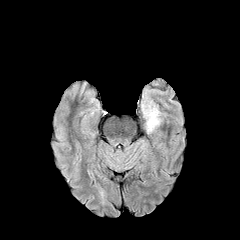
FLAIR MR image.
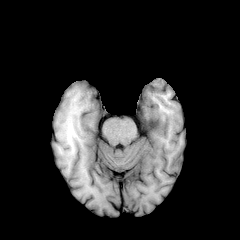
T1-weighted MR image of the same slice.
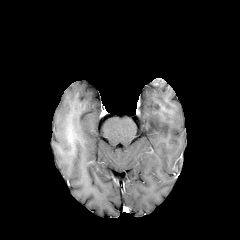
Post-contrast T1-weighted MR of the same slice.
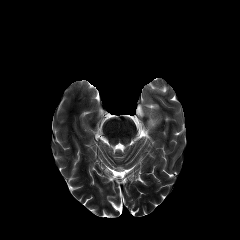
Same slice, T2-weighted magnetic resonance.
Brain, Axial view
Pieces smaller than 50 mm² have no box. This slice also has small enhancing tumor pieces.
peritumoral_edema:
  - rect(143, 106, 160, 132)